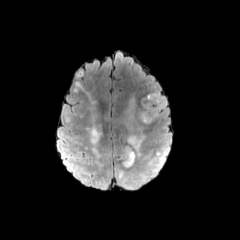
FLAIR MR image.
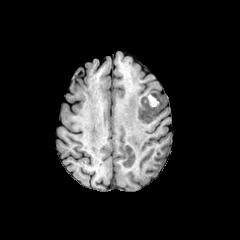
T1-weighted MR.
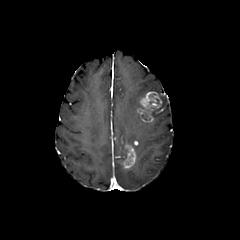
Post-contrast T1-weighted magnetic resonance.
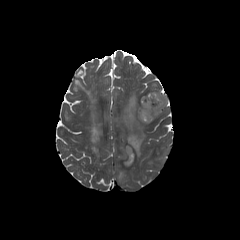
T2-weighted magnetic resonance of the same slice.
240x240.
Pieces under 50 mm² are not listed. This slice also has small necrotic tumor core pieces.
<segmentation>
  <peritumoral_edema>127:135:144:157, 130:99:134:110, 154:91:166:119, 158:148:168:165, 117:170:128:184</peritumoral_edema>
  <enhancing_tumor>137:91:162:122, 121:144:136:168</enhancing_tumor>
</segmentation>